Axial view.
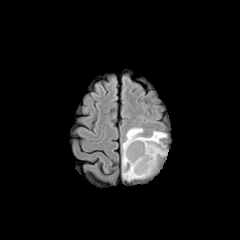
FLAIR magnetic resonance.
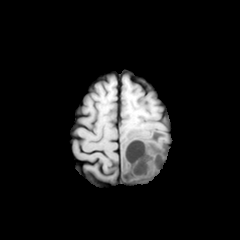
T1-weighted MR image.
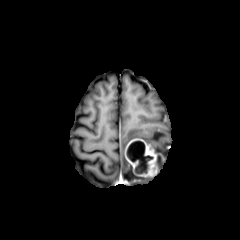
Post-contrast T1-weighted MRI.
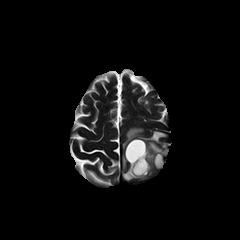
Same slice, T2-weighted MR image.
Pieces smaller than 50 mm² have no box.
enhancing tumor: 124, 138, 163, 176 | necrotic tumor core: 127, 141, 152, 173 | peritumoral edema: 122, 127, 167, 181